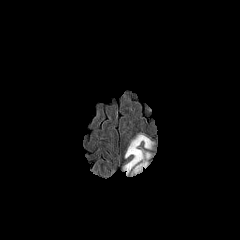
FLAIR MRI.
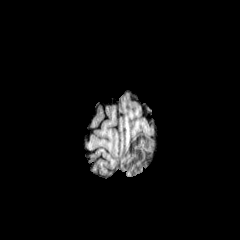
T1-weighted magnetic resonance.
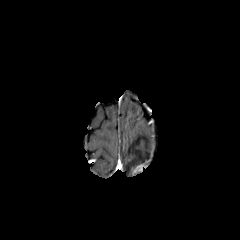
Same slice, post-contrast T1-weighted MR.
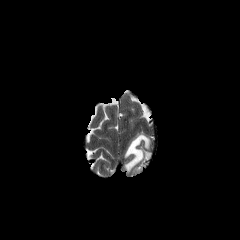
T2-weighted MR of the same slice.
240x240 px; Brain; Axial plane
The peritumoral edema is at bbox=[121, 134, 154, 175]. The enhancing tumor is located at bbox=[133, 164, 144, 173].